Slice index 13; Head; Axial plane
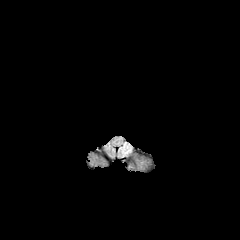
FLAIR MRI.
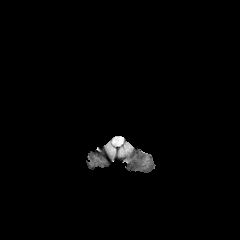
T1-weighted MR of the same slice.
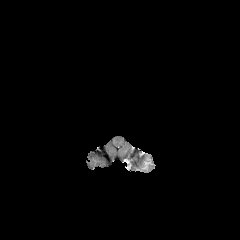
Post-contrast T1-weighted MR image.
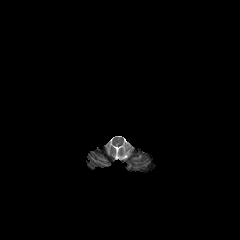
T2-weighted MRI.
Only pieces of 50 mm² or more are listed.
peritumoral edema: bounding box box=[119, 144, 131, 157]